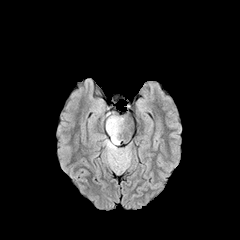
FLAIR MR image.
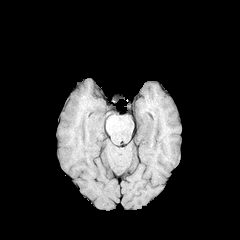
T1-weighted MR.
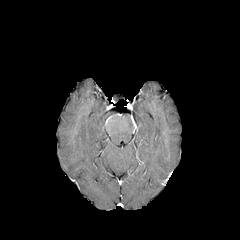
Same slice, post-contrast T1-weighted MRI.
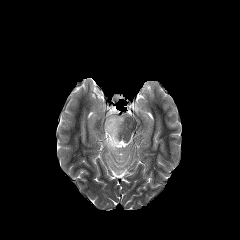
Same slice, T2-weighted magnetic resonance.
Axial view; 240x240
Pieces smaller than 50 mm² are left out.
{
  "peritumoral_edema": [
    "103,115,130,172"
  ]
}